FLAIR MR image.
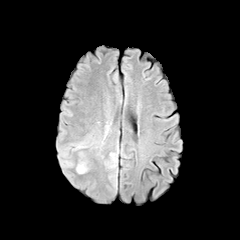
T1-weighted MR.
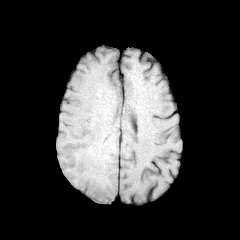
Post-contrast T1-weighted magnetic resonance.
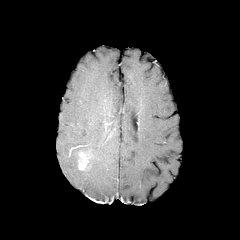
T2-weighted MR.
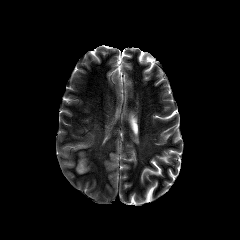
Brain | Axial plane
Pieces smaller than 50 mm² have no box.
peritumoral edema at (x1=76, y1=165, x2=88, y2=173), (x1=62, y1=160, x2=72, y2=166)
enhancing tumor at (x1=78, y1=152, x2=87, y2=170)